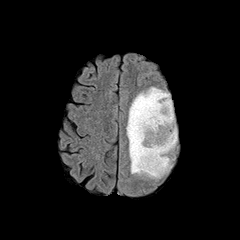
FLAIR MR.
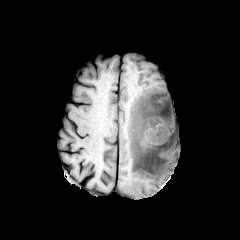
T1-weighted MR.
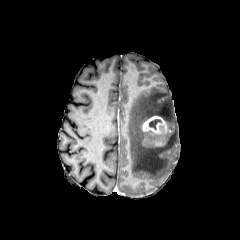
Same slice, post-contrast T1-weighted MR image.
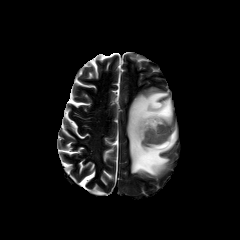
T2-weighted MRI.
Axial view | Head
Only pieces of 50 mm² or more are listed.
peritumoral edema at bbox(126, 87, 177, 178)
enhancing tumor at bbox(142, 116, 166, 134)
necrotic tumor core at bbox(149, 119, 161, 129)